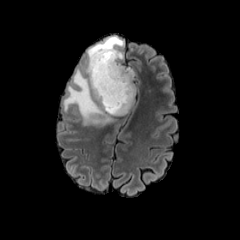
FLAIR MR.
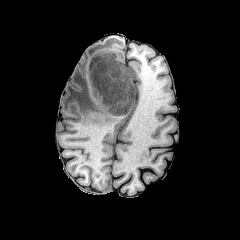
T1-weighted magnetic resonance.
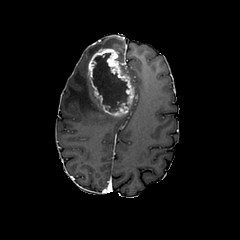
Post-contrast T1-weighted MRI.
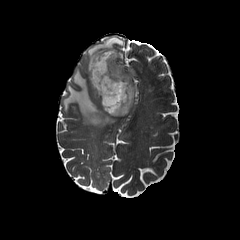
T2-weighted magnetic resonance.
240x240. Axial plane. Head.
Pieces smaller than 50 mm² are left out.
necrotic tumor core: box=[92, 53, 128, 113]
peritumoral edema: box=[63, 36, 134, 125]
enhancing tumor: box=[88, 48, 134, 116]